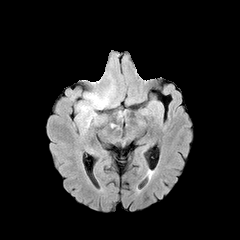
FLAIR MR.
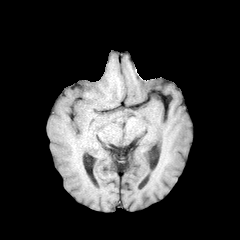
T1-weighted MR image of the same slice.
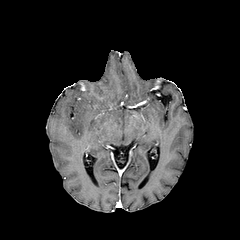
Same slice, post-contrast T1-weighted MR image.
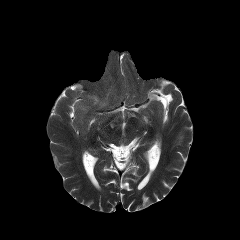
T2-weighted magnetic resonance.
Brain
The peritumoral edema appears at bbox=[77, 83, 115, 133].